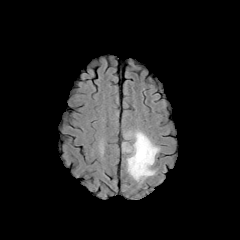
FLAIR MR image.
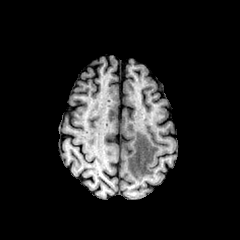
T1-weighted MR image.
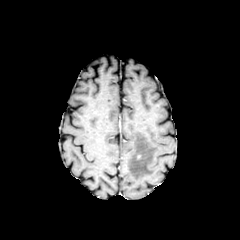
Post-contrast T1-weighted MRI.
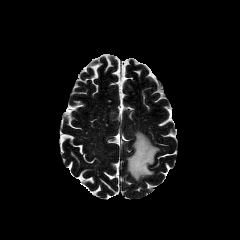
T2-weighted MR.
Head | Axial plane
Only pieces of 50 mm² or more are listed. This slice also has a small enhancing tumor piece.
peritumoral edema — 122, 130, 159, 181